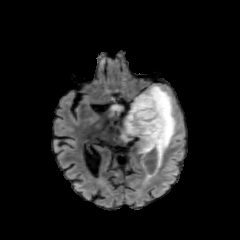
FLAIR MRI.
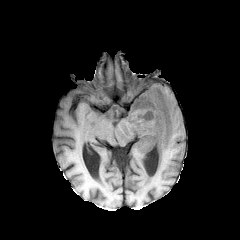
T1-weighted MR image of the same slice.
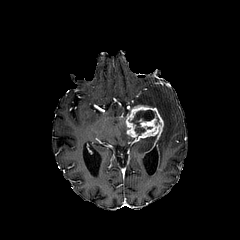
Post-contrast T1-weighted MR image.
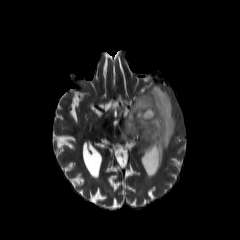
T2-weighted MR image of the same slice.
Axial slice | Head
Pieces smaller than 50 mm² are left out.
enhancing_tumor:
  - region(125, 105, 163, 175)
necrotic_tumor_core:
  - region(129, 109, 157, 135)
peritumoral_edema:
  - region(112, 104, 123, 120)
  - region(131, 85, 176, 168)
  - region(132, 137, 155, 183)
  - region(120, 115, 133, 142)